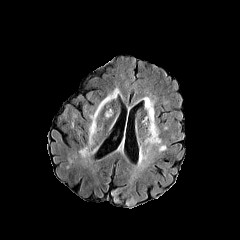
FLAIR MR image.
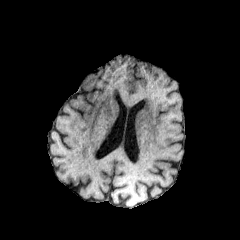
T1-weighted MR image of the same slice.
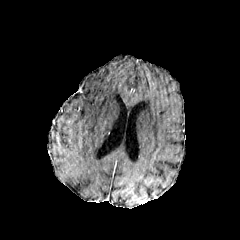
Post-contrast T1-weighted magnetic resonance.
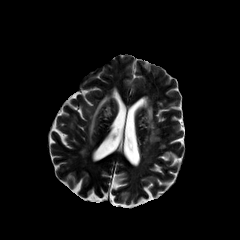
Same slice, T2-weighted magnetic resonance.
Head
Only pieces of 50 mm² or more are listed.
peritumoral edema: bbox(89, 93, 112, 145)